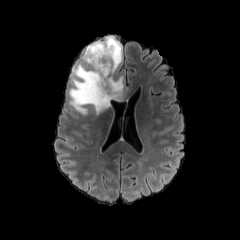
FLAIR magnetic resonance.
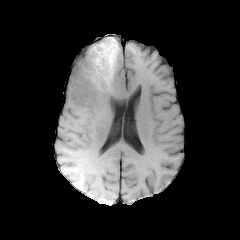
T1-weighted MRI.
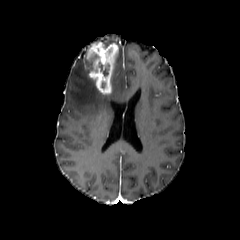
Same slice, post-contrast T1-weighted magnetic resonance.
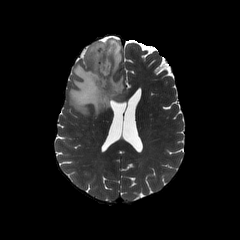
Same slice, T2-weighted MRI.
Axial view
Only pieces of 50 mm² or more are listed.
The 2 largest necrotic tumor core regions are located at 89:54:99:72, 99:60:110:75. The enhancing tumor lies within 84:42:118:94. The 2 largest peritumoral edema regions are bounded by 97:37:122:73, 69:56:130:115.